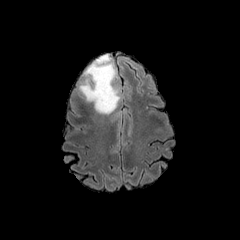
FLAIR MR.
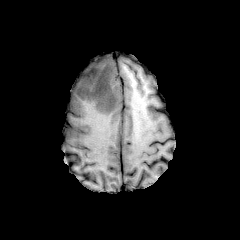
T1-weighted MRI.
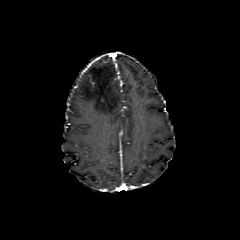
Post-contrast T1-weighted MR image of the same slice.
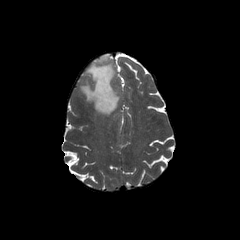
T2-weighted MR image of the same slice.
Head.
peritumoral edema: bounding box 79:55:120:114